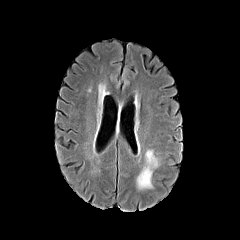
FLAIR MR image.
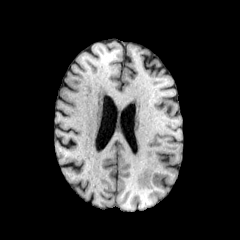
T1-weighted MR.
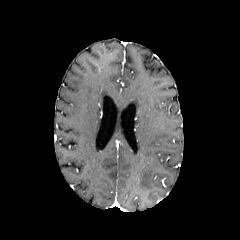
Post-contrast T1-weighted MR image.
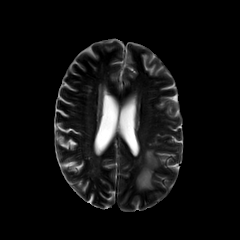
T2-weighted MRI.
Axial view
{
  "peritumoral_edema": [
    "137,150,158,189"
  ]
}